Slice index 92; Axial plane; Brain; Image size 240x240
FLAIR magnetic resonance.
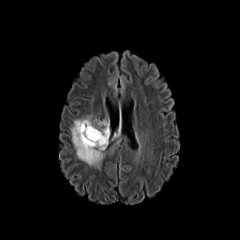
T1-weighted MR image.
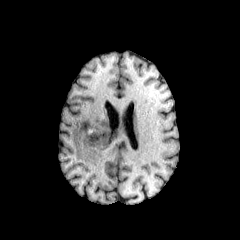
Post-contrast T1-weighted magnetic resonance.
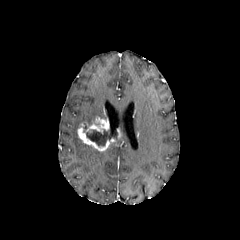
T2-weighted MR image.
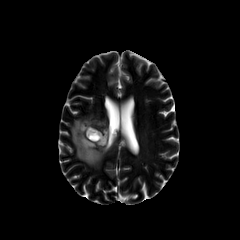
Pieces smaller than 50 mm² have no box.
The largest necrotic tumor core region appears at 86,129,117,145. The peritumoral edema is at 71,115,104,168. The largest enhancing tumor region is at 77,117,114,151.